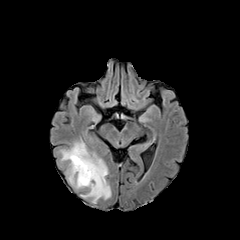
FLAIR MRI.
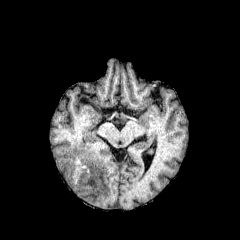
T1-weighted MR of the same slice.
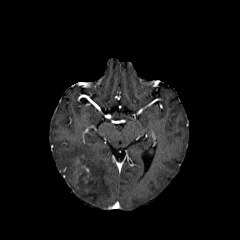
Same slice, post-contrast T1-weighted MR image.
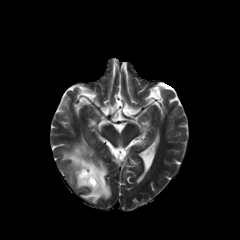
Same slice, T2-weighted MRI.
Axial view. Brain. Image size 240x240.
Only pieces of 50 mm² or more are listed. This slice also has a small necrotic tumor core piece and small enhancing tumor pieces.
• peritumoral edema: region(60, 139, 111, 203)